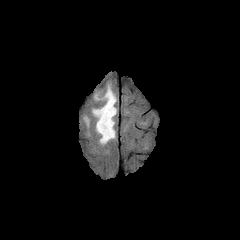
FLAIR MR image.
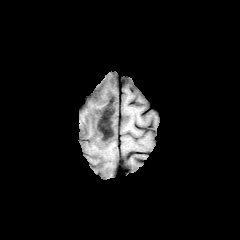
T1-weighted MR.
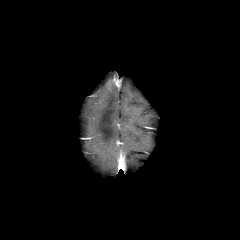
Same slice, post-contrast T1-weighted MRI.
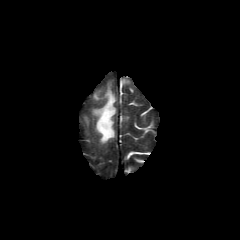
T2-weighted MRI.
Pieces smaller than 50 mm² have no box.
peritumoral edema: x1=92 y1=83 x2=116 y2=144